Axial plane. Slice 102 of 155.
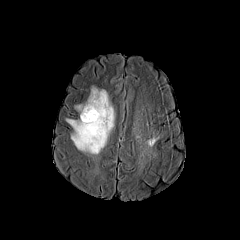
FLAIR magnetic resonance.
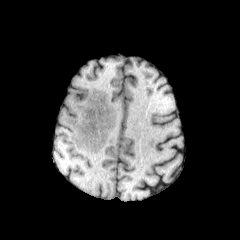
T1-weighted MR of the same slice.
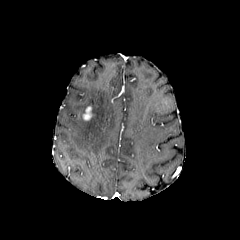
Post-contrast T1-weighted MR image.
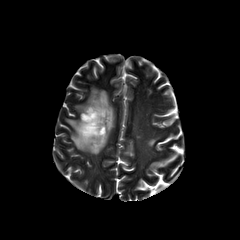
T2-weighted MRI.
The enhancing tumor lies within x1=82 y1=106 x2=92 y2=120. The peritumoral edema appears at x1=66 y1=87 x2=114 y2=154.